Head. 240x240 px.
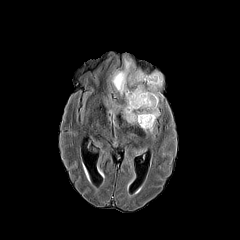
FLAIR MR.
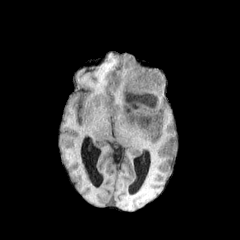
T1-weighted MR of the same slice.
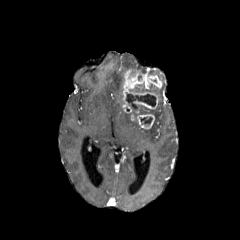
Post-contrast T1-weighted MR.
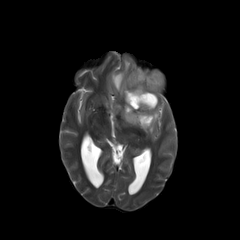
T2-weighted MRI of the same slice.
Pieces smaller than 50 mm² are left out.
necrotic tumor core — box(140, 117, 152, 124); box(139, 105, 147, 114); box(126, 94, 156, 116)
peritumoral edema — box(143, 104, 159, 133); box(122, 111, 137, 124); box(151, 70, 162, 80); box(150, 88, 162, 97); box(108, 101, 121, 117); box(111, 55, 135, 96)
enhancing tumor — box(122, 69, 162, 129)